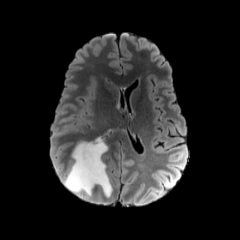
FLAIR MR image.
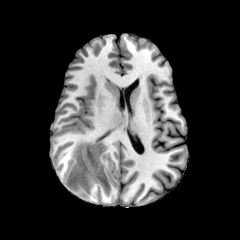
T1-weighted magnetic resonance.
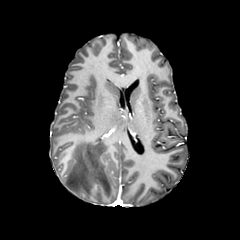
Post-contrast T1-weighted MRI of the same slice.
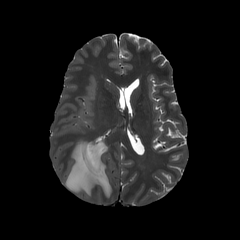
T2-weighted magnetic resonance of the same slice.
Axial view
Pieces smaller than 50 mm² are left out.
peritumoral_edema:
  - region(64, 136, 112, 196)